Axial plane
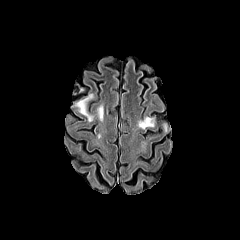
FLAIR MR image.
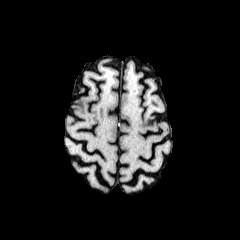
T1-weighted MR of the same slice.
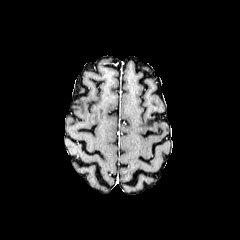
Post-contrast T1-weighted MRI.
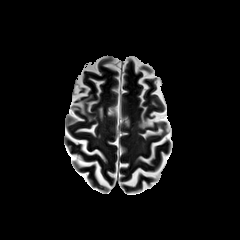
T2-weighted magnetic resonance.
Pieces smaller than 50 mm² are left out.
peritumoral edema: bounding box region(96, 103, 103, 120); region(160, 122, 167, 132); region(75, 93, 93, 121); region(136, 115, 155, 129)